Head | Axial view
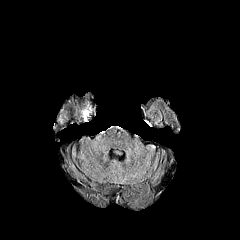
FLAIR magnetic resonance.
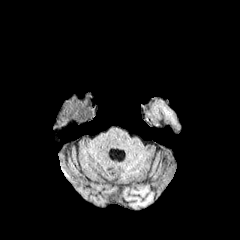
T1-weighted MR.
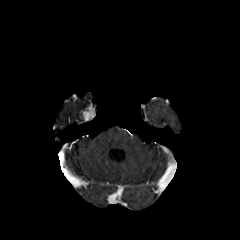
Post-contrast T1-weighted magnetic resonance.
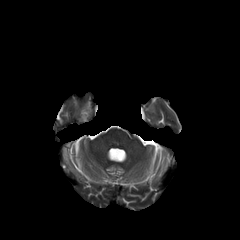
Same slice, T2-weighted magnetic resonance.
Annotated regions:
• enhancing tumor: box=[81, 104, 94, 121]